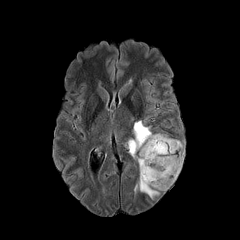
FLAIR magnetic resonance.
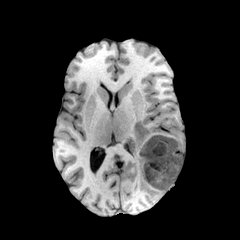
Same slice, T1-weighted magnetic resonance.
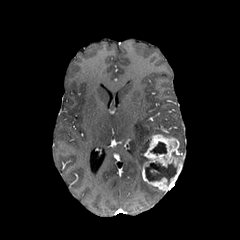
Post-contrast T1-weighted MR image.
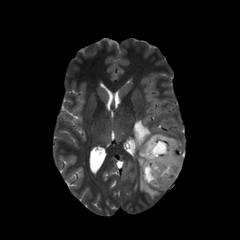
T2-weighted magnetic resonance.
240x240. Axial view.
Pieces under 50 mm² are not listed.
peritumoral_edema:
  - {"x1": 129, "y1": 120, "x2": 159, "y2": 199}
enhancing_tumor:
  - {"x1": 142, "y1": 134, "x2": 184, "y2": 191}
necrotic_tumor_core:
  - {"x1": 150, "y1": 142, "x2": 166, "y2": 154}
  - {"x1": 145, "y1": 163, "x2": 176, "y2": 182}